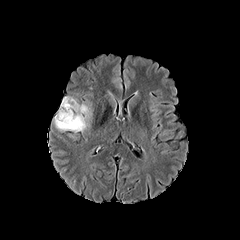
FLAIR MR image.
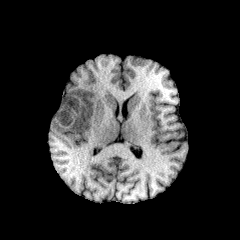
T1-weighted MR image of the same slice.
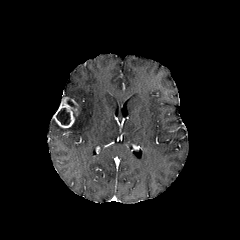
Post-contrast T1-weighted MRI.
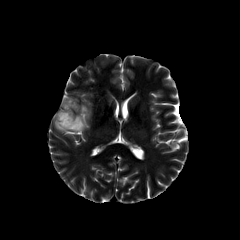
Same slice, T2-weighted MRI.
240x240; Brain
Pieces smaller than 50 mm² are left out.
* peritumoral edema: bbox(54, 103, 91, 132)
* necrotic tumor core: bbox(56, 108, 70, 124)
* enhancing tumor: bbox(53, 97, 79, 128)